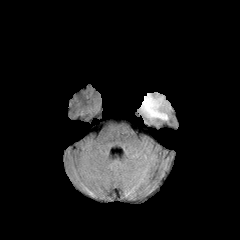
FLAIR MRI.
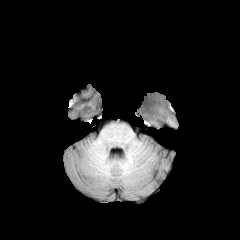
T1-weighted MR image.
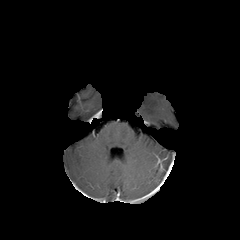
Post-contrast T1-weighted magnetic resonance.
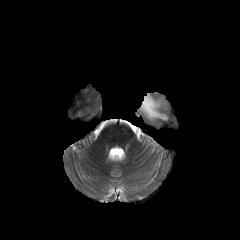
T2-weighted magnetic resonance of the same slice.
Axial plane; Brain
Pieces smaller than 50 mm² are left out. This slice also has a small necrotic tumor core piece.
The enhancing tumor is bounded by (144, 102, 154, 114). The peritumoral edema is at (139, 93, 170, 122).